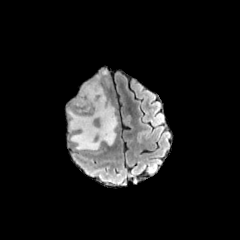
FLAIR MR image.
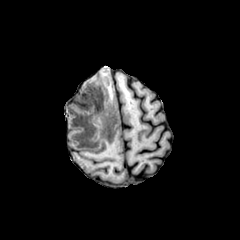
Same slice, T1-weighted MR image.
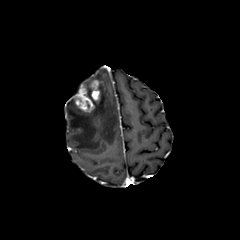
Same slice, post-contrast T1-weighted MR image.
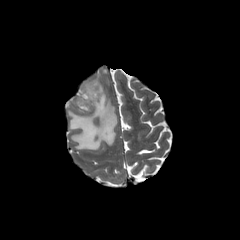
T2-weighted magnetic resonance.
Axial view, Head
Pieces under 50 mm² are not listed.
<segmentation>
  <enhancing_tumor>75 85 94 112, 89 80 100 101</enhancing_tumor>
  <peritumoral_edema>68 82 117 150</peritumoral_edema>
</segmentation>